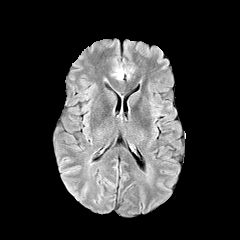
FLAIR MRI.
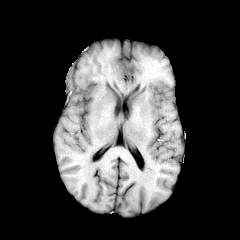
T1-weighted MRI.
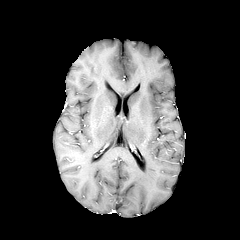
Post-contrast T1-weighted MRI.
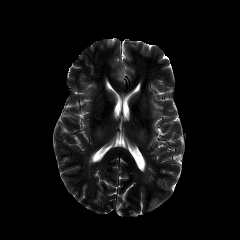
T2-weighted MR.
240x240
The peritumoral edema is bounded by 113, 68, 125, 80.